FLAIR MR image.
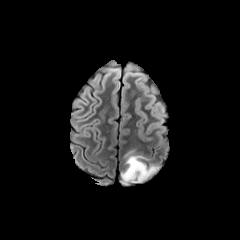
T1-weighted MR image.
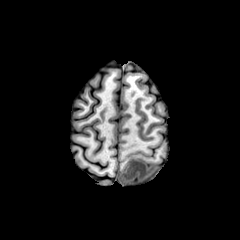
Post-contrast T1-weighted MR.
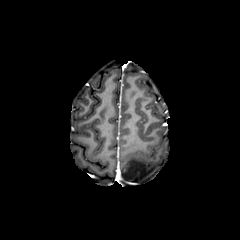
T2-weighted magnetic resonance.
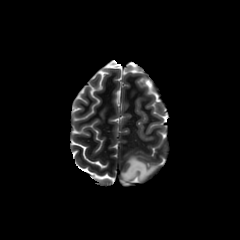
Axial view.
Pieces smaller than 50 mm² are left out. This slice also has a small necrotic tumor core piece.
peritumoral edema: l=121, t=155, r=158, b=185